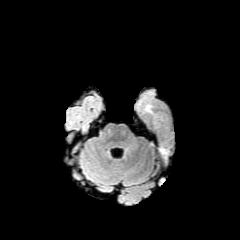
FLAIR magnetic resonance.
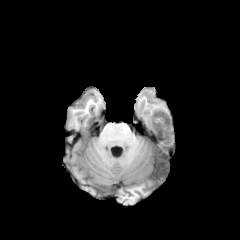
Same slice, T1-weighted MRI.
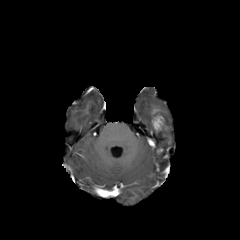
Post-contrast T1-weighted MR image.
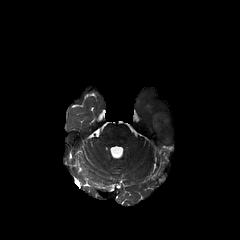
T2-weighted magnetic resonance.
Axial view. Brain.
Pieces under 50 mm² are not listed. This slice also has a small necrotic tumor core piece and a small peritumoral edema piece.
{"enhancing_tumor": ["[x1=152, y1=109, x2=164, y2=131]"]}